FLAIR MR.
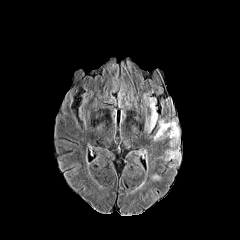
T1-weighted MR.
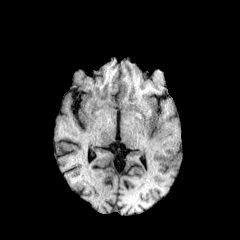
Post-contrast T1-weighted MR.
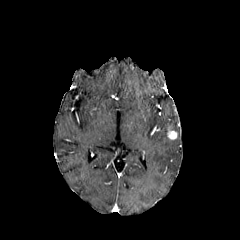
T2-weighted MRI.
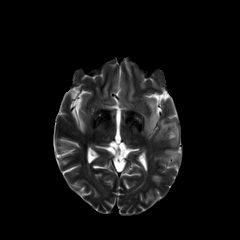
240x240 px
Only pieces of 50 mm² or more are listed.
Segmented structures:
* enhancing tumor: 167 126 177 139
* peritumoral edema: 165 148 181 163, 154 119 179 146, 145 101 157 132